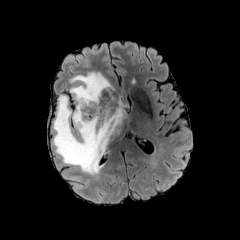
FLAIR MR image.
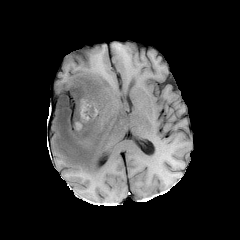
Same slice, T1-weighted magnetic resonance.
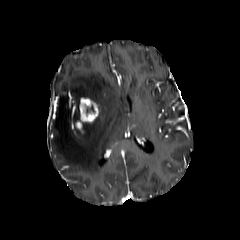
Post-contrast T1-weighted magnetic resonance.
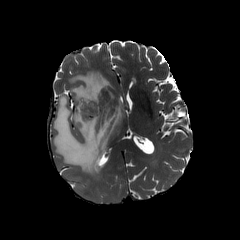
T2-weighted MR of the same slice.
Axial slice
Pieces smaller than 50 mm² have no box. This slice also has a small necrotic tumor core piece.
enhancing_tumor:
  - bbox=[75, 98, 99, 135]
peritumoral_edema:
  - bbox=[53, 71, 126, 176]